240x240.
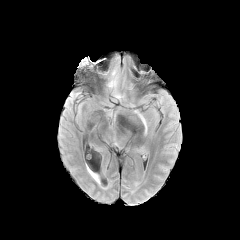
FLAIR MR.
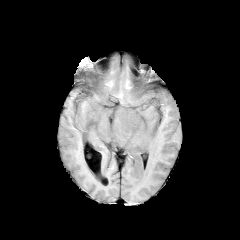
T1-weighted MR image.
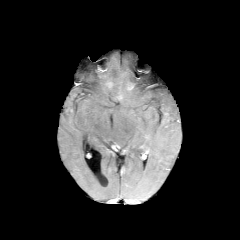
Post-contrast T1-weighted MRI.
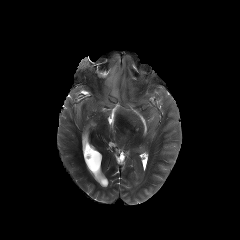
T2-weighted MR.
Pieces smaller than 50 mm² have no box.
peritumoral_edema:
  - 103, 60, 132, 101